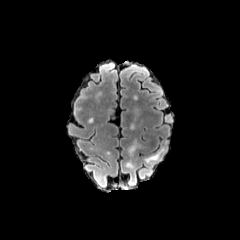
FLAIR magnetic resonance.
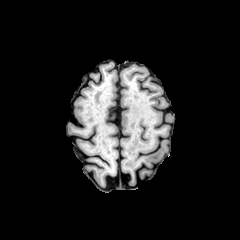
T1-weighted MR image.
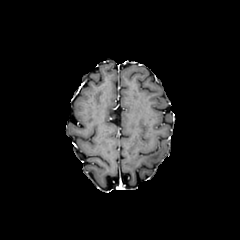
Post-contrast T1-weighted MR of the same slice.
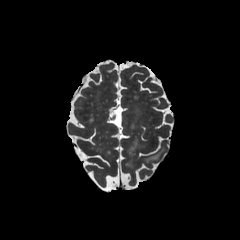
T2-weighted MRI of the same slice.
Head | 240x240 px
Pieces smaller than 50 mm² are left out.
Segmented structures:
* peritumoral edema: left=145, top=147, right=164, bottom=162; left=126, top=146, right=140, bottom=157